FLAIR MRI.
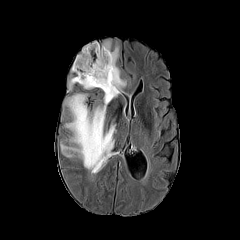
T1-weighted MR image.
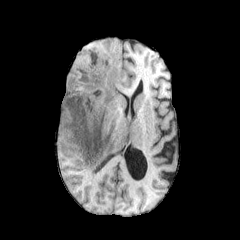
Post-contrast T1-weighted MRI.
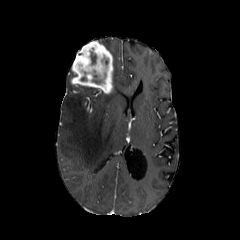
T2-weighted magnetic resonance.
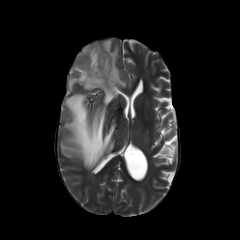
240x240 px
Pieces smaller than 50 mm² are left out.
The enhancing tumor lies within [70, 41, 113, 93]. The largest necrotic tumor core region lies within [91, 52, 96, 63]. The largest peritumoral edema region lies within [60, 40, 126, 170].